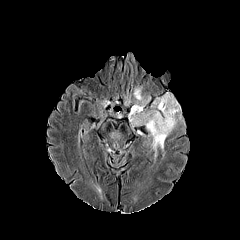
FLAIR MRI.
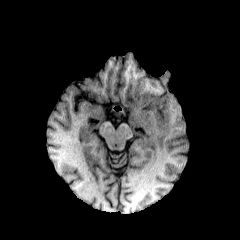
T1-weighted MR image.
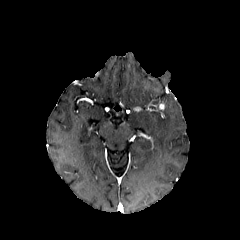
Same slice, post-contrast T1-weighted magnetic resonance.
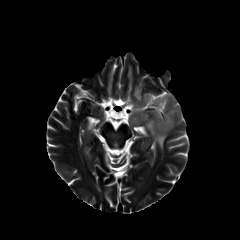
Same slice, T2-weighted MRI.
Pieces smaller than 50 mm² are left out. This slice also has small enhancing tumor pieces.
{
  "peritumoral_edema": [
    "134,88,141,100",
    "131,95,180,150",
    "131,104,143,114"
  ]
}